Head, Axial slice, Image size 240x240
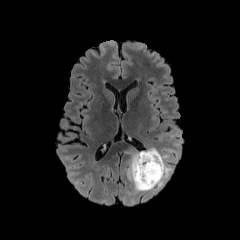
FLAIR magnetic resonance.
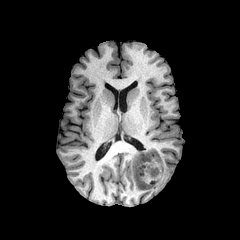
T1-weighted MRI of the same slice.
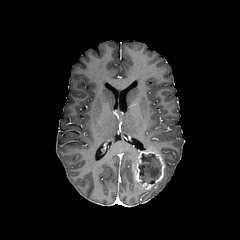
Post-contrast T1-weighted MR image of the same slice.
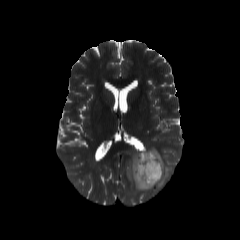
T2-weighted MR of the same slice.
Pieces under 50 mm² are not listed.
<segmentation>
  <necrotic_tumor_core>region(138, 153, 161, 183)</necrotic_tumor_core>
  <enhancing_tumor>region(132, 150, 165, 189)</enhancing_tumor>
  <peritumoral_edema>region(125, 148, 179, 196)</peritumoral_edema>
</segmentation>